FLAIR MRI.
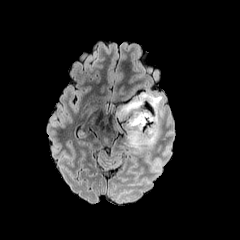
T1-weighted MRI.
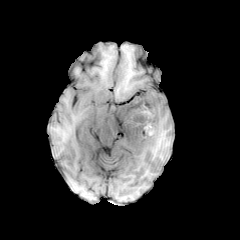
Post-contrast T1-weighted magnetic resonance.
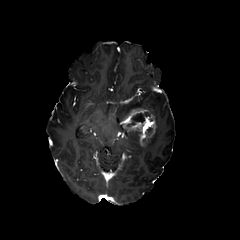
T2-weighted MRI.
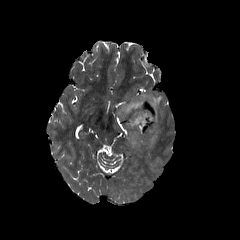
Axial slice, Image size 240x240
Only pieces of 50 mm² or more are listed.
necrotic tumor core: bounding box 131:112:150:124
peritumoral edema: bounding box 116:91:163:151
enhancing tumor: bounding box 123:107:156:146